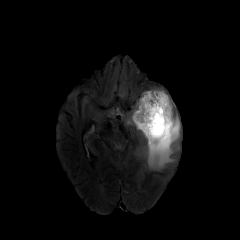
FLAIR MRI.
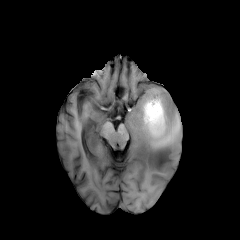
Same slice, T1-weighted MR image.
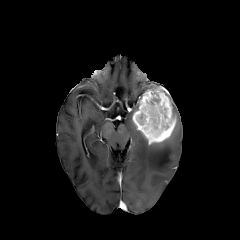
Post-contrast T1-weighted MRI.
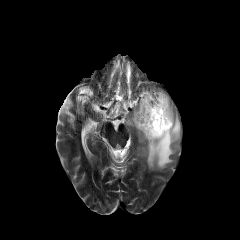
T2-weighted MRI.
Head. Axial slice.
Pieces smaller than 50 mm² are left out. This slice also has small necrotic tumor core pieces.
{"enhancing_tumor": ["[132,88,176,144]"], "peritumoral_edema": ["[126,102,138,129]", "[137,101,181,170]"]}